FLAIR MR image.
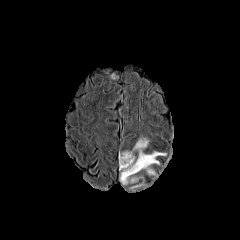
T1-weighted magnetic resonance.
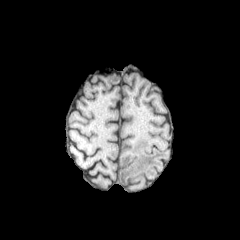
Post-contrast T1-weighted MRI.
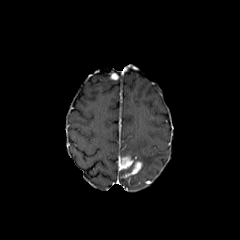
T2-weighted magnetic resonance.
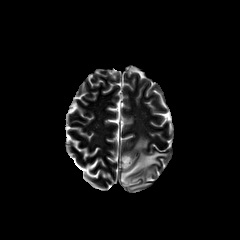
Head | Axial slice
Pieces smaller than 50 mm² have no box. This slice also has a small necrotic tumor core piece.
2 enhancing tumor regions appear at <box>122,161,142,178</box>, <box>119,155,133,170</box>. The 2 largest peritumoral edema regions are located at <box>120,137,166,175</box>, <box>120,171,142,184</box>.